FLAIR MR image.
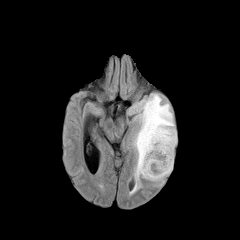
T1-weighted magnetic resonance.
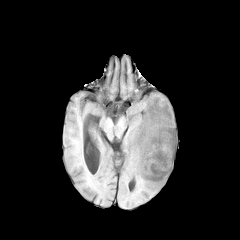
Post-contrast T1-weighted MR image.
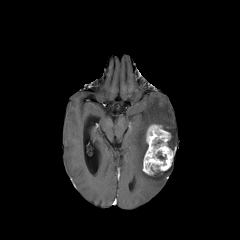
T2-weighted MR.
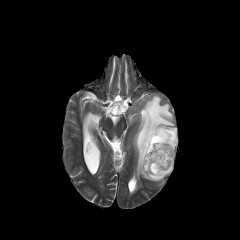
Axial plane
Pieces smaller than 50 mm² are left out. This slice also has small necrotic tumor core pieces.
peritumoral_edema:
  - 133 94 177 191
enhancing_tumor:
  - 142 124 174 175